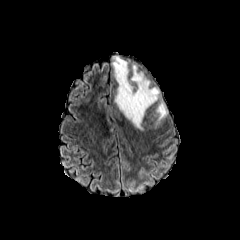
FLAIR MR.
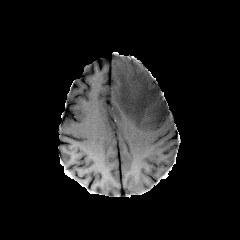
Same slice, T1-weighted MR image.
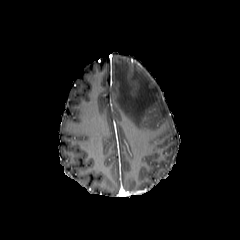
Post-contrast T1-weighted MRI.
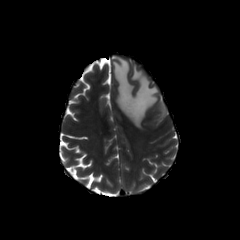
Same slice, T2-weighted MR image.
Axial plane. 240x240. Head.
* peritumoral edema: (155, 101, 167, 122), (112, 56, 159, 130)